FLAIR MR.
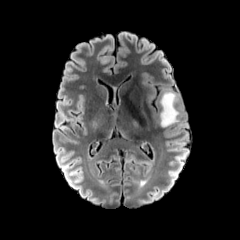
T1-weighted MR.
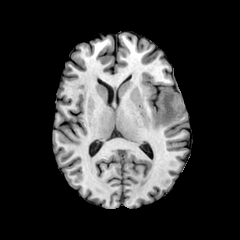
Post-contrast T1-weighted MR image.
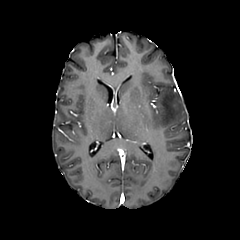
T2-weighted magnetic resonance.
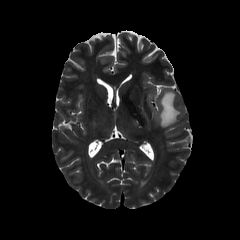
Axial slice | Head
peritumoral edema: 159 90 179 126